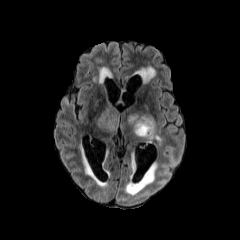
FLAIR MRI.
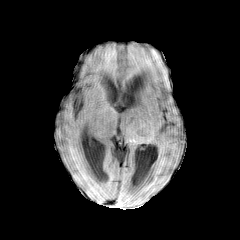
T1-weighted MR.
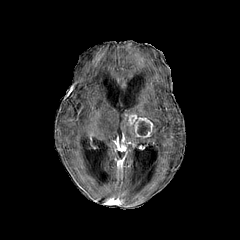
Same slice, post-contrast T1-weighted magnetic resonance.
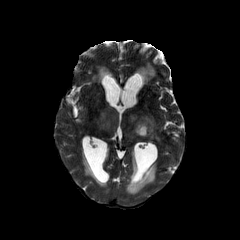
T2-weighted MRI of the same slice.
Axial view
The enhancing tumor is bounded by bbox(128, 113, 153, 139). The necrotic tumor core is located at bbox(137, 121, 149, 135). The peritumoral edema lies within bbox(96, 105, 160, 143).